Slice 67 of 155
FLAIR MR.
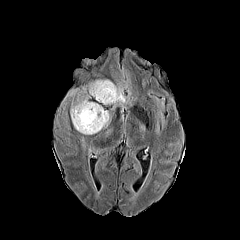
T1-weighted MR.
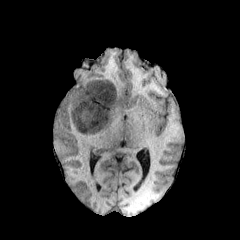
Post-contrast T1-weighted MR.
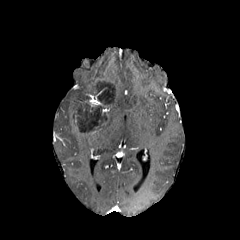
T2-weighted MRI.
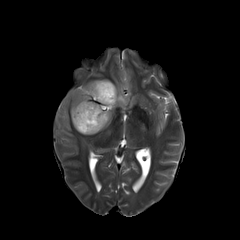
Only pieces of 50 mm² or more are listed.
necrotic tumor core = x1=73 y1=81 x2=121 y2=133
peritumoral edema = x1=63 y1=89 x2=76 y2=104, x1=112 y1=83 x2=128 y2=109, x1=88 y1=80 x2=99 y2=93, x1=70 y1=87 x2=88 y2=127, x1=101 y1=112 x2=111 y2=129
enhancing tumor = x1=88 y1=89 x2=103 y2=107